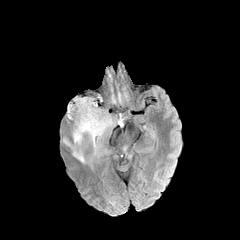
FLAIR MR image.
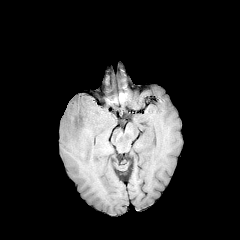
T1-weighted MR image.
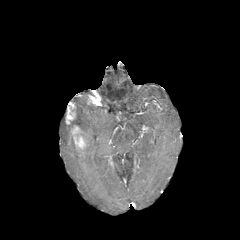
Post-contrast T1-weighted MR.
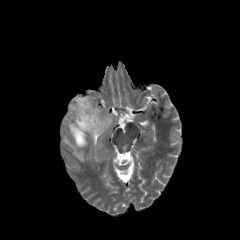
Same slice, T2-weighted MR image.
Head, Axial view
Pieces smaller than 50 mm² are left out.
enhancing tumor = (86, 94, 97, 105), (65, 102, 76, 124), (71, 124, 86, 154)
peritumoral edema = (72, 144, 92, 166), (74, 97, 111, 155)